240x240 px
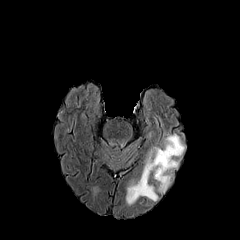
FLAIR magnetic resonance.
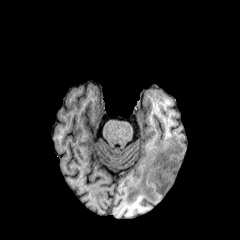
T1-weighted magnetic resonance of the same slice.
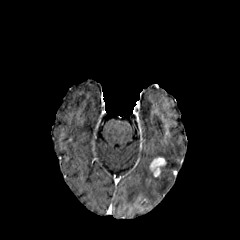
Post-contrast T1-weighted MRI.
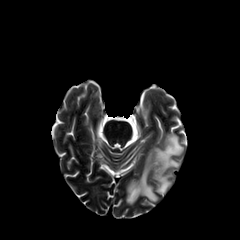
T2-weighted magnetic resonance.
<segmentation>
  <enhancing_tumor>150,157,166,176</enhancing_tumor>
  <peritumoral_edema>126,134,184,204</peritumoral_edema>
</segmentation>